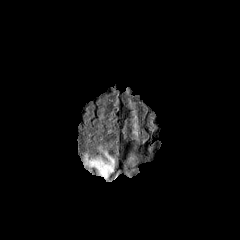
FLAIR magnetic resonance.
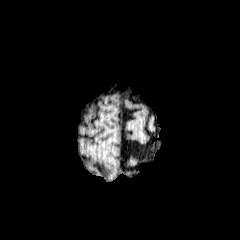
T1-weighted MR image.
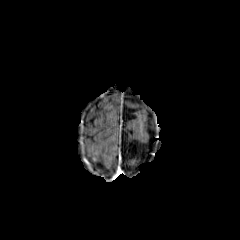
Post-contrast T1-weighted MR image of the same slice.
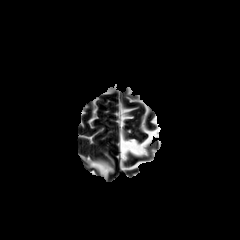
T2-weighted magnetic resonance.
Axial slice; Head
peritumoral edema — box(89, 152, 114, 178)